Head. Axial slice.
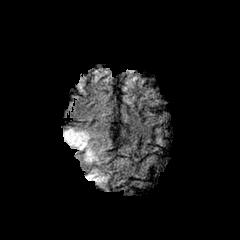
FLAIR magnetic resonance.
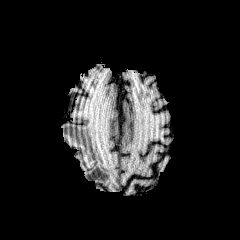
T1-weighted MRI.
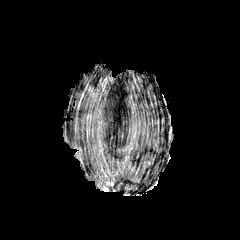
Same slice, post-contrast T1-weighted MR image.
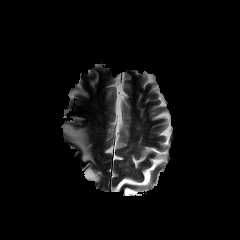
Same slice, T2-weighted MR image.
Annotated regions:
• peritumoral edema: 85, 168, 108, 183; 63, 126, 99, 164